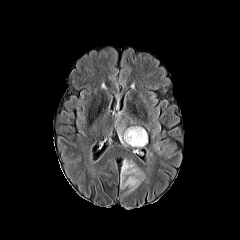
FLAIR MRI.
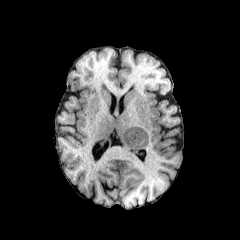
T1-weighted MRI of the same slice.
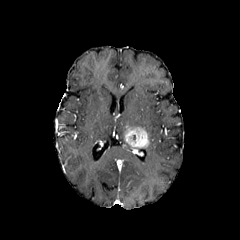
Same slice, post-contrast T1-weighted MR image.
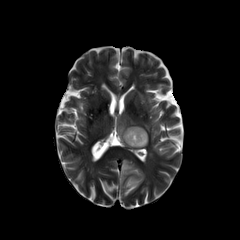
Same slice, T2-weighted magnetic resonance.
240x240 px
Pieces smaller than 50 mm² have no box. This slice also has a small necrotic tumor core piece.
<segmentation>
  <enhancing_tumor>bbox(124, 127, 148, 147)</enhancing_tumor>
  <peritumoral_edema>bbox(120, 158, 144, 196); bbox(118, 127, 124, 145)</peritumoral_edema>
</segmentation>